FLAIR MR image.
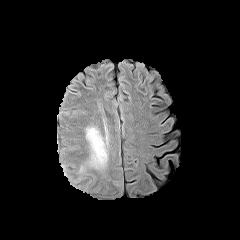
T1-weighted MR image.
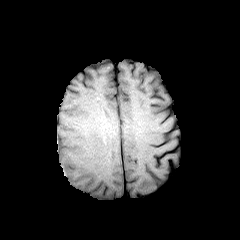
Post-contrast T1-weighted magnetic resonance.
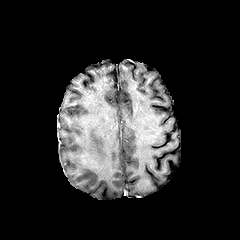
T2-weighted MRI.
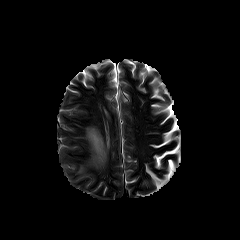
240x240 | Brain | Axial plane
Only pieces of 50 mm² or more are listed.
peritumoral edema — x1=87 y1=127 x2=106 y2=163